FLAIR MR image.
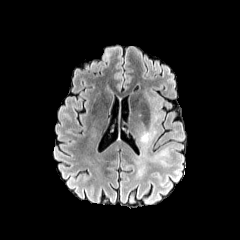
T1-weighted magnetic resonance.
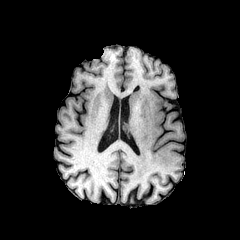
Post-contrast T1-weighted MR.
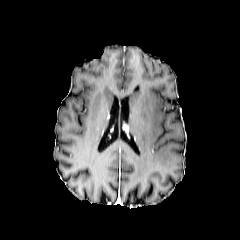
T2-weighted MRI.
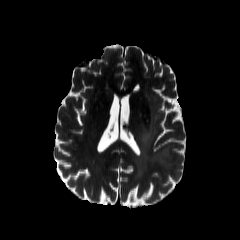
Head
Findings:
* peritumoral edema: left=140, top=94, right=165, bottom=146